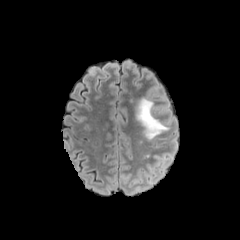
FLAIR magnetic resonance.
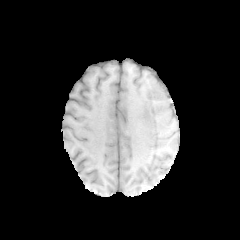
Same slice, T1-weighted MR.
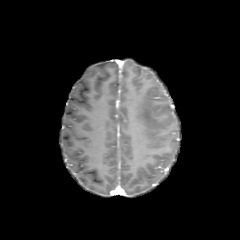
Post-contrast T1-weighted MRI.
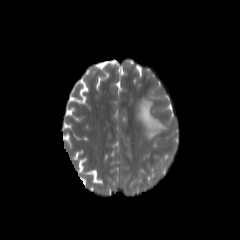
Same slice, T2-weighted MR.
Head
The peritumoral edema is located at [136, 98, 168, 139].